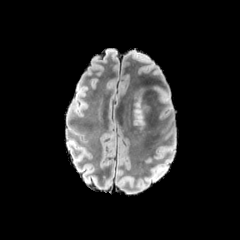
FLAIR MRI.
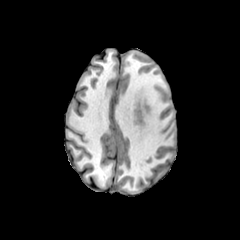
T1-weighted MRI of the same slice.
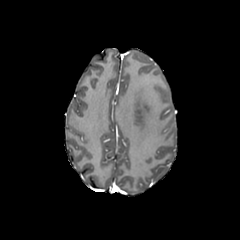
Same slice, post-contrast T1-weighted MR image.
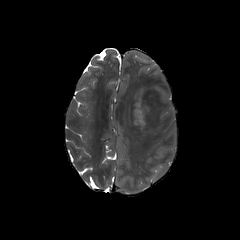
Same slice, T2-weighted magnetic resonance.
Axial view; Brain
• peritumoral edema: box(134, 98, 147, 128)